Brain.
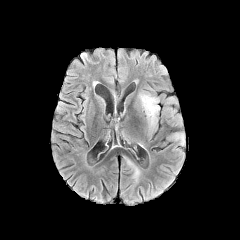
FLAIR MR image.
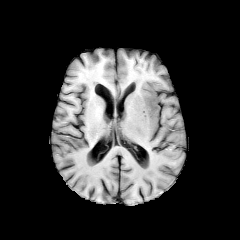
T1-weighted magnetic resonance.
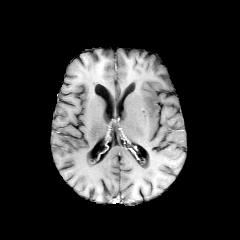
Post-contrast T1-weighted magnetic resonance.
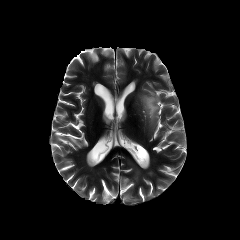
T2-weighted MRI.
peritumoral edema = <bbox>140, 95, 159, 132</bbox>